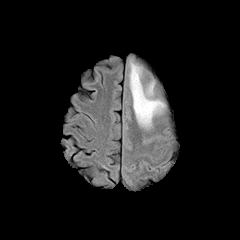
FLAIR MR.
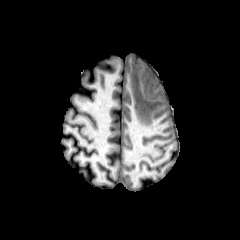
T1-weighted MR.
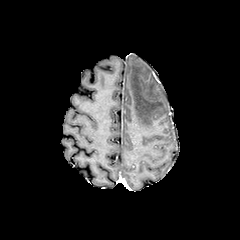
Post-contrast T1-weighted MRI.
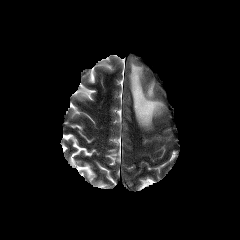
T2-weighted MRI.
Axial view
The peritumoral edema is located at l=129, t=60, r=164, b=128.